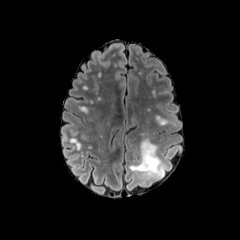
FLAIR MRI.
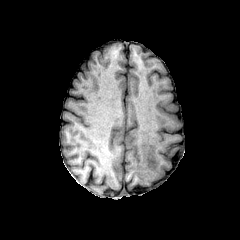
T1-weighted MRI.
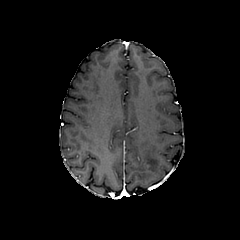
Post-contrast T1-weighted MR image.
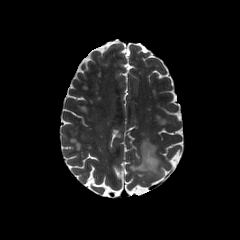
T2-weighted MR.
Segmented structures:
• peritumoral edema: {"x1": 129, "y1": 138, "x2": 167, "y2": 179}